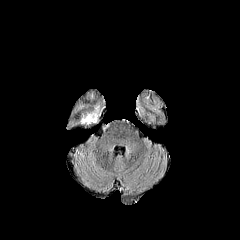
FLAIR MR image.
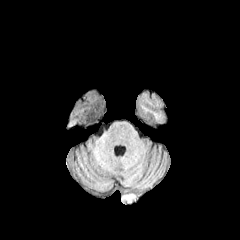
Same slice, T1-weighted MR.
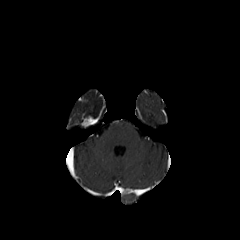
Post-contrast T1-weighted MRI of the same slice.
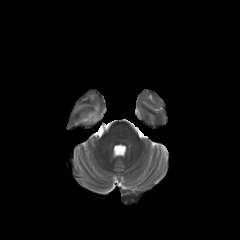
Same slice, T2-weighted MR.
Head, 240x240
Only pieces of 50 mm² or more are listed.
The enhancing tumor lies within <bbox>82, 115, 98, 126</bbox>. The largest peritumoral edema region is bounded by <bbox>86, 105, 99, 117</bbox>.